FLAIR magnetic resonance.
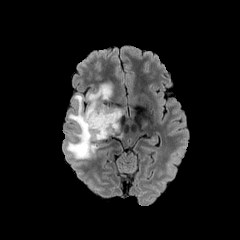
T1-weighted MRI.
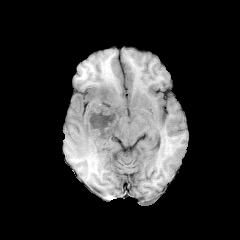
Post-contrast T1-weighted MR.
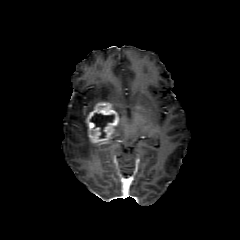
T2-weighted magnetic resonance.
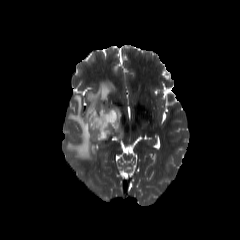
Image size 240x240, Brain
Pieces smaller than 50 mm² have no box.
{
  "necrotic_tumor_core": [
    "rect(91, 113, 114, 138)"
  ],
  "peritumoral_edema": [
    "rect(66, 82, 112, 159)"
  ],
  "enhancing_tumor": [
    "rect(86, 102, 119, 144)"
  ]
}